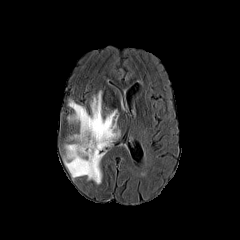
FLAIR MR image.
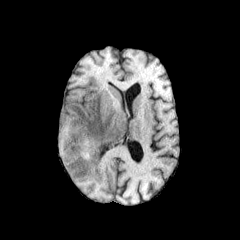
Same slice, T1-weighted MR image.
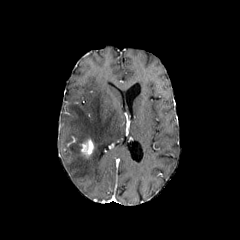
Post-contrast T1-weighted MR of the same slice.
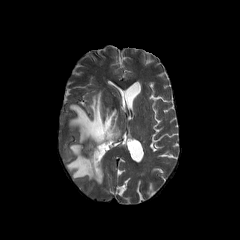
Same slice, T2-weighted magnetic resonance.
240x240 px
• peritumoral edema: [x1=65, y1=92, x2=120, y2=183]
• enhancing tumor: [x1=81, y1=139, x2=93, y2=156]